FLAIR MR image.
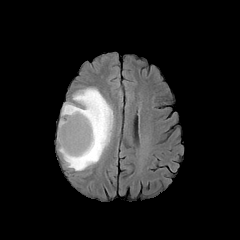
T1-weighted MR.
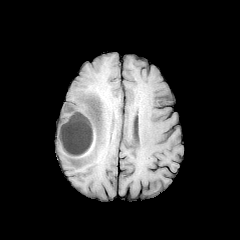
Post-contrast T1-weighted MRI.
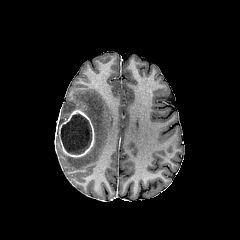
T2-weighted magnetic resonance.
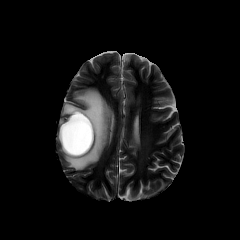
Axial plane
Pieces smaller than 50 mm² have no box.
peritumoral edema — (59, 88, 111, 170)
necrotic tumor core — (60, 114, 91, 154)
enhancing tumor — (58, 109, 94, 157)